Brain.
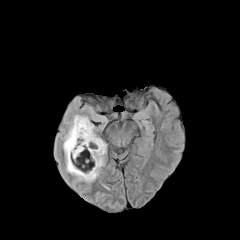
FLAIR magnetic resonance.
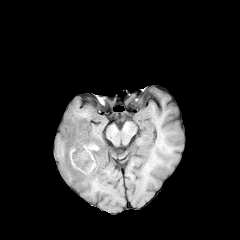
Same slice, T1-weighted MR image.
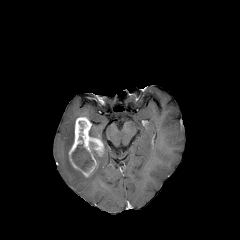
Post-contrast T1-weighted magnetic resonance.
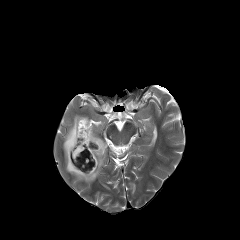
Same slice, T2-weighted magnetic resonance.
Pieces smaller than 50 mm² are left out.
peritumoral_edema:
  - {"x1": 90, "y1": 124, "x2": 99, "y2": 137}
  - {"x1": 63, "y1": 115, "x2": 106, "y2": 182}
enhancing_tumor:
  - {"x1": 68, "y1": 117, "x2": 104, "y2": 177}
necrotic_tumor_core:
  - {"x1": 71, "y1": 144, "x2": 93, "y2": 171}
  - {"x1": 90, "y1": 143, "x2": 97, "y2": 158}